FLAIR MR image.
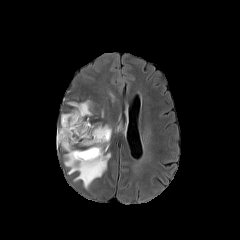
T1-weighted MR.
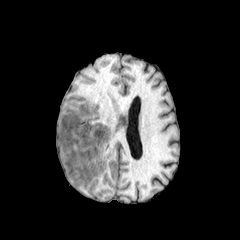
Post-contrast T1-weighted MR.
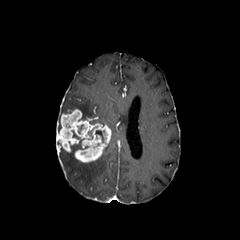
T2-weighted MRI.
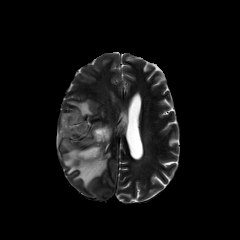
Image size 240x240 | Axial view | Head
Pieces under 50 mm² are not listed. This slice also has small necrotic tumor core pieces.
enhancing tumor: (x1=56, y1=109, x2=111, y2=162)
peritumoral edema: (x1=63, y1=145, x2=110, y2=188), (x1=68, y1=100, x2=92, y2=119)